FLAIR MR image.
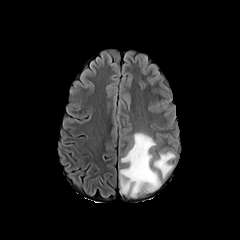
T1-weighted MR image.
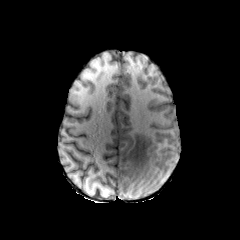
Post-contrast T1-weighted magnetic resonance.
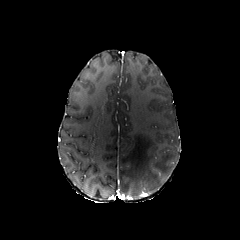
T2-weighted MR.
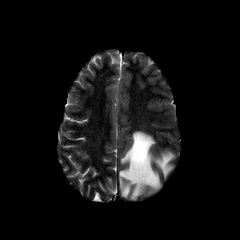
Brain; Axial view
Segmented structures:
* peritumoral edema: l=119, t=131, r=175, b=196